Image width 240 mm, 1.00 mm slice spacing | 240x240 px | Axial view
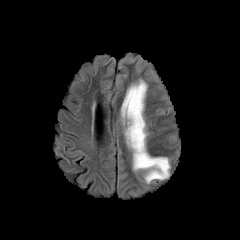
FLAIR magnetic resonance.
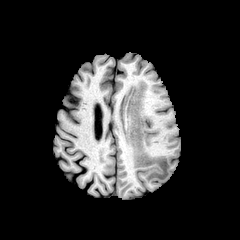
Same slice, T1-weighted MR.
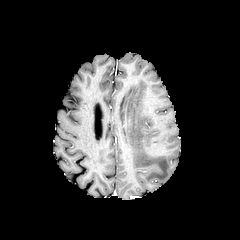
Post-contrast T1-weighted MRI of the same slice.
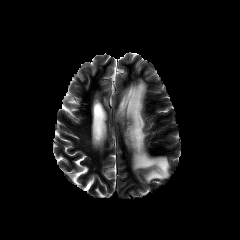
T2-weighted MR image.
Annotated regions:
- peritumoral edema: (121, 80, 169, 182)